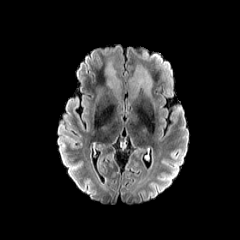
FLAIR MR.
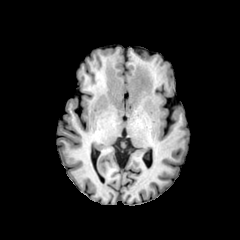
T1-weighted magnetic resonance.
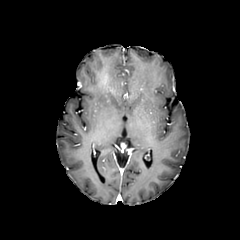
Post-contrast T1-weighted MRI.
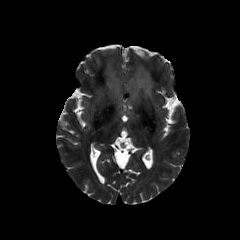
T2-weighted MR image.
Axial slice.
{"peritumoral_edema": ["127 66 152 97", "106 63 123 94"]}